FLAIR MR.
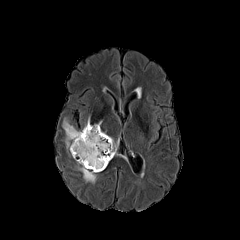
T1-weighted MRI.
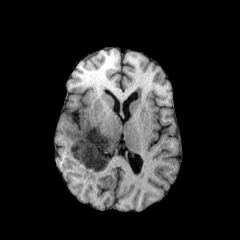
Post-contrast T1-weighted MR.
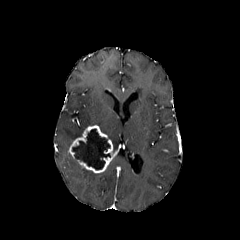
T2-weighted MRI.
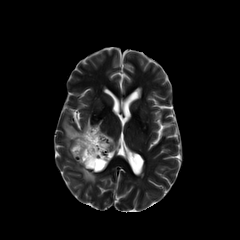
240x240
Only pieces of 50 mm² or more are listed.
The necrotic tumor core is at x1=72 y1=129 x2=110 y2=169. The enhancing tumor is located at x1=69 y1=125 x2=117 y2=173. The 3 largest peritumoral edema regions are located at x1=108 y1=136 x2=118 y2=150, x1=62 y1=117 x2=101 y2=152, x1=76 y1=161 x2=101 y2=183.